FLAIR magnetic resonance.
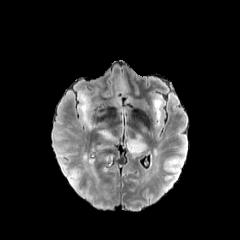
T1-weighted magnetic resonance.
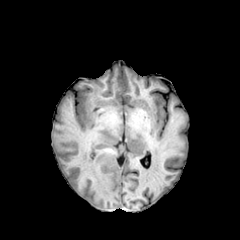
Post-contrast T1-weighted MR.
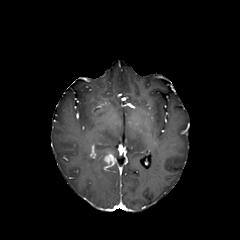
T2-weighted MR.
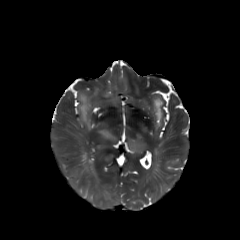
Brain
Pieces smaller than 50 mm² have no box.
<segmentation>
  <enhancing_tumor>(left=103, top=153, right=115, bottom=167)</enhancing_tumor>
  <peritumoral_edema>(left=88, top=159, right=95, bottom=175), (left=153, top=100, right=161, bottom=118), (left=128, top=139, right=145, bottom=153), (left=78, top=93, right=94, bottom=129), (left=99, top=130, right=114, bottom=140)</peritumoral_edema>
</segmentation>